FLAIR MRI.
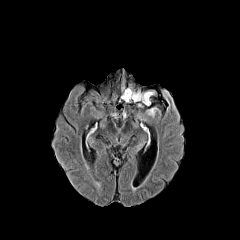
T1-weighted MR.
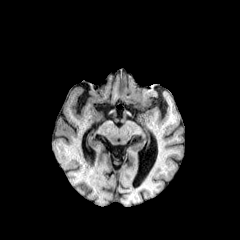
Post-contrast T1-weighted MRI.
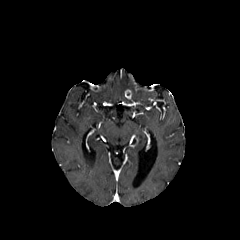
T2-weighted MR.
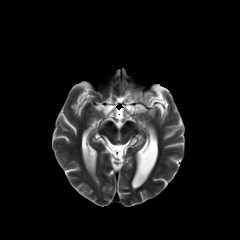
Head
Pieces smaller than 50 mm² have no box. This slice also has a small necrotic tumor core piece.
- enhancing tumor: left=125, top=89, right=131, bottom=99
- peritumoral edema: left=131, top=91, right=153, bottom=105; left=147, top=108, right=156, bottom=116